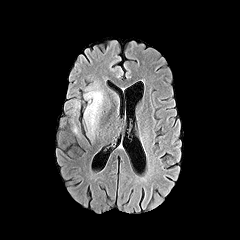
FLAIR MRI.
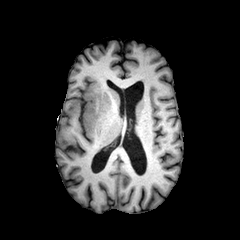
Same slice, T1-weighted magnetic resonance.
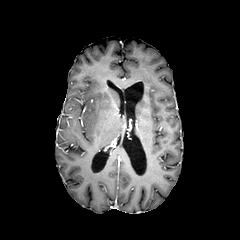
Post-contrast T1-weighted MR.
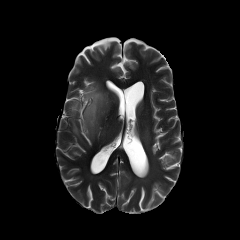
T2-weighted MRI.
Head
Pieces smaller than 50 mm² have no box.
peritumoral edema — region(84, 87, 103, 133)